Slice index 87
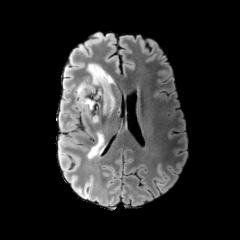
FLAIR MR.
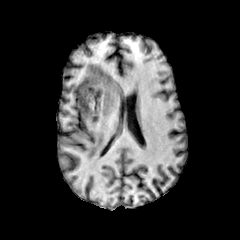
Same slice, T1-weighted MR.
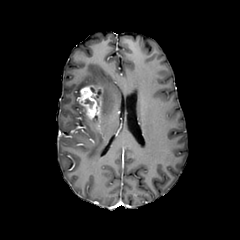
Post-contrast T1-weighted magnetic resonance of the same slice.
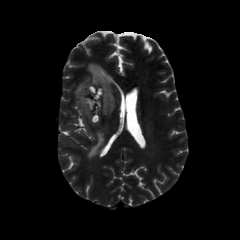
T2-weighted MR image of the same slice.
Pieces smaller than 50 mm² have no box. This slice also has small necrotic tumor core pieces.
{
  "enhancing_tumor": [
    "left=77, top=85, right=103, bottom=122"
  ],
  "peritumoral_edema": [
    "left=87, top=121, right=104, bottom=158",
    "left=75, top=63, right=115, bottom=117"
  ]
}